FLAIR MRI.
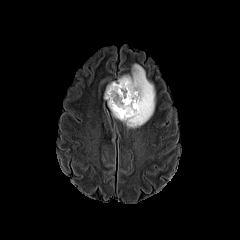
T1-weighted magnetic resonance.
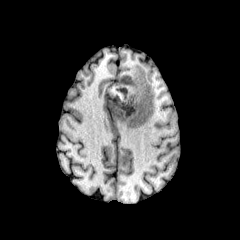
Post-contrast T1-weighted MRI.
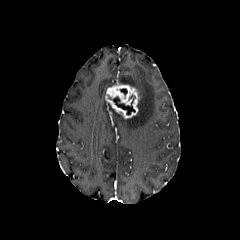
T2-weighted MR image.
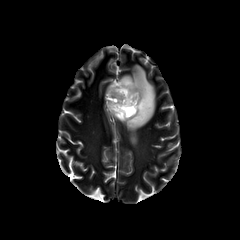
240x240 | Head | Axial slice
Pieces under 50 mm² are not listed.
enhancing tumor: box=[105, 81, 139, 118] | peritumoral edema: box=[109, 64, 155, 128] | necrotic tumor core: box=[108, 95, 135, 114]